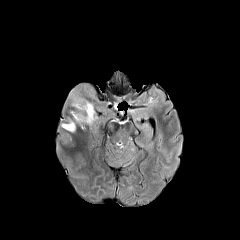
FLAIR MR.
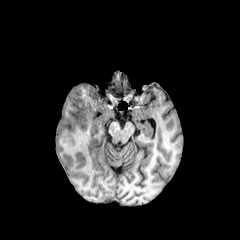
T1-weighted MR of the same slice.
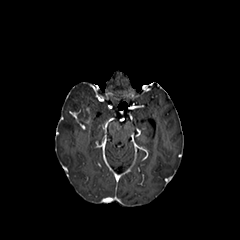
Same slice, post-contrast T1-weighted MR.
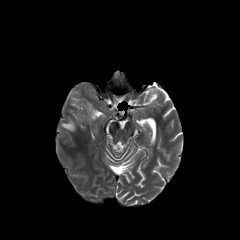
Same slice, T2-weighted MR image.
Axial view
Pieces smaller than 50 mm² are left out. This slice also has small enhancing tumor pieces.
2 peritumoral edema regions are bounded by [x1=61, y1=117, x2=75, y2=131], [x1=70, y1=86, x2=96, y2=123].